240x240; Brain
FLAIR MR.
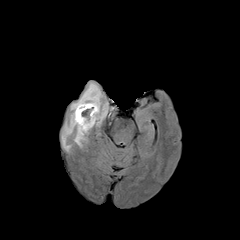
T1-weighted MR.
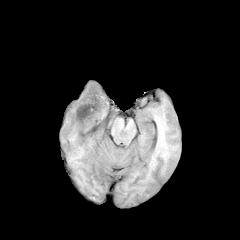
Post-contrast T1-weighted MR.
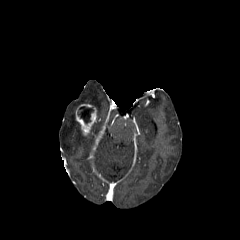
T2-weighted MR.
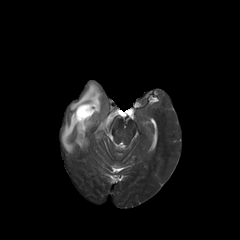
peritumoral edema at (61,82,107,152)
enhancing tumor at (75,103,97,135)
necrotic tumor core at (78,106,93,123)